Slice 114/155
FLAIR MRI.
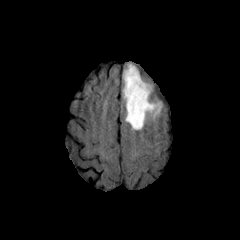
T1-weighted magnetic resonance.
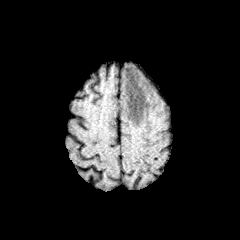
Post-contrast T1-weighted MR image.
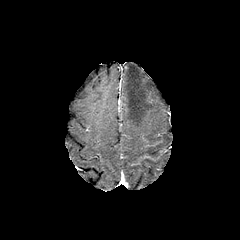
T2-weighted MR image.
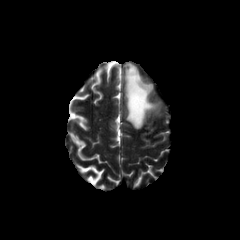
- peritumoral edema: [123,64,161,129]